FLAIR MR image.
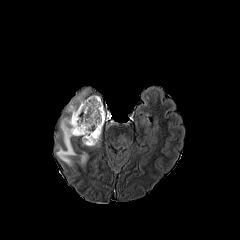
T1-weighted MR image.
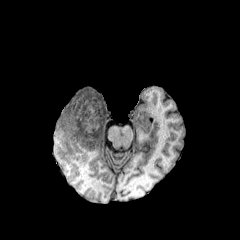
Post-contrast T1-weighted MRI.
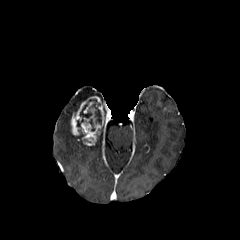
T2-weighted MR image.
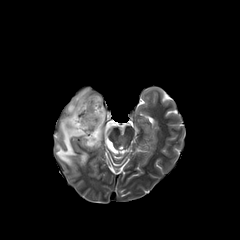
Axial plane | Brain
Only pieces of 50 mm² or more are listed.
{
  "peritumoral_edema": [
    "[x1=56, y1=88, x2=90, y2=165]",
    "[x1=79, y1=152, x2=87, y2=165]"
  ],
  "enhancing_tumor": [
    "[x1=70, y1=96, x2=104, y2=145]"
  ],
  "necrotic_tumor_core": [
    "[x1=77, y1=104, x2=91, y2=126]",
    "[x1=89, y1=99, x2=101, y2=124]"
  ]
}